FLAIR MR.
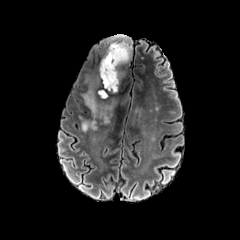
T1-weighted MR.
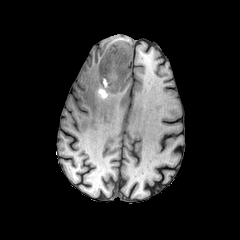
Post-contrast T1-weighted MR image.
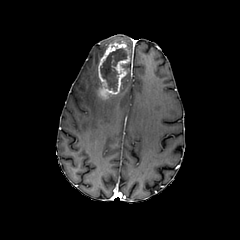
T2-weighted MRI.
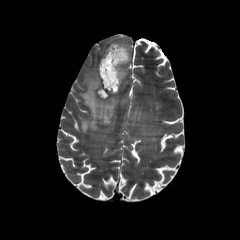
240x240 | Head
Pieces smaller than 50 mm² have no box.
The necrotic tumor core appears at bbox(100, 48, 127, 91). The 2 largest peritumoral edema regions appear at bbox(79, 82, 118, 131); bbox(110, 35, 131, 52). The enhancing tumor is located at bbox(98, 41, 130, 98).